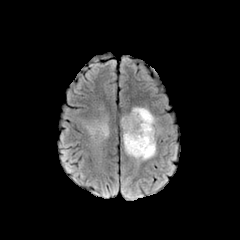
FLAIR magnetic resonance.
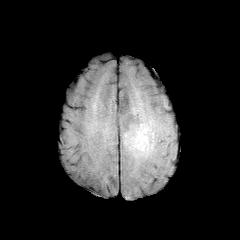
T1-weighted MR of the same slice.
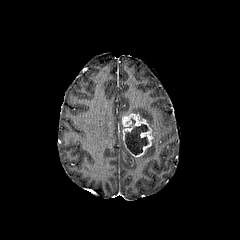
Post-contrast T1-weighted MR image.
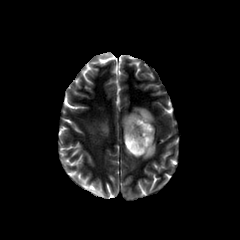
T2-weighted MRI of the same slice.
240x240 px
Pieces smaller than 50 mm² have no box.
Findings:
• enhancing tumor: region(122, 113, 153, 157)
• peritumoral edema: region(100, 123, 108, 135); region(131, 107, 155, 159)
• necrotic tumor core: region(125, 124, 148, 155)